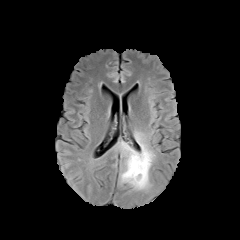
FLAIR MR.
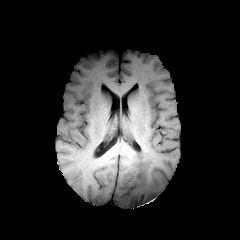
T1-weighted magnetic resonance.
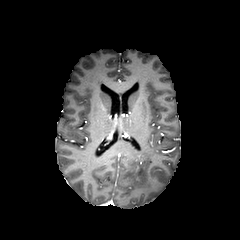
Post-contrast T1-weighted magnetic resonance of the same slice.
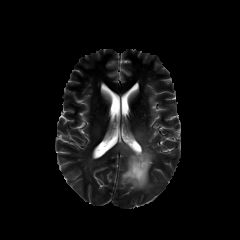
Same slice, T2-weighted MRI.
Axial slice
peritumoral edema — bbox(120, 132, 154, 190)